FLAIR MR.
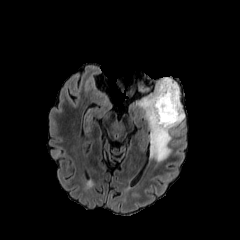
T1-weighted MR.
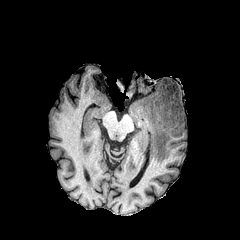
Post-contrast T1-weighted MR image.
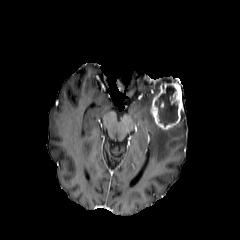
T2-weighted magnetic resonance.
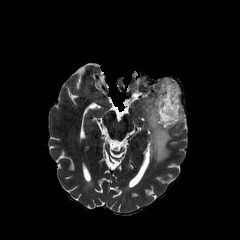
Brain; Image size 240x240
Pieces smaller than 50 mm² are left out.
The peritumoral edema appears at 138,77,185,162. The largest enhancing tumor region is at 150,82,183,130. The largest necrotic tumor core region is at 155,85,178,125.